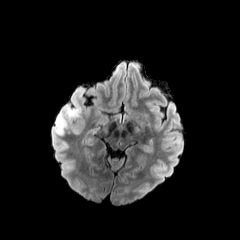
FLAIR MR.
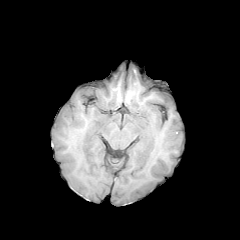
T1-weighted MR of the same slice.
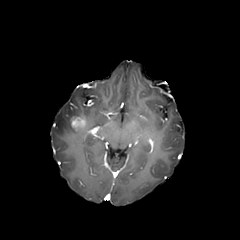
Post-contrast T1-weighted MR of the same slice.
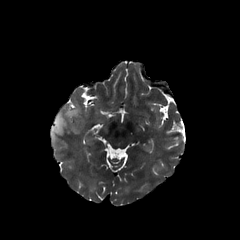
T2-weighted MRI of the same slice.
Axial slice | Brain | 240x240
enhancing tumor: bounding box <bbox>70, 116, 85, 131</bbox>
peritumoral edema: bounding box <bbox>56, 106, 82, 134</bbox>